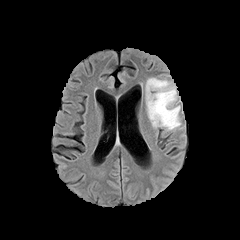
FLAIR MR image.
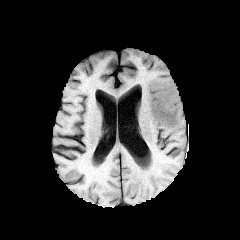
T1-weighted magnetic resonance.
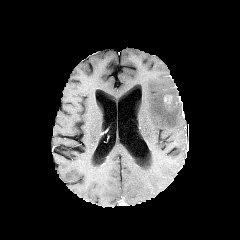
Same slice, post-contrast T1-weighted MRI.
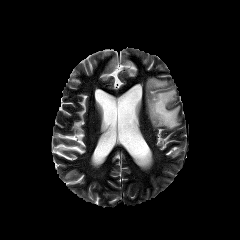
Same slice, T2-weighted MR image.
Axial view | Image size 240x240
enhancing tumor: x1=164, y1=95, x2=171, y2=102 | peritumoral edema: x1=145, y1=77, x2=180, y2=130